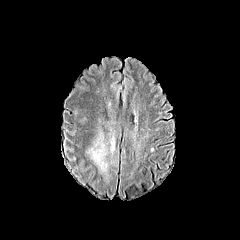
FLAIR MR.
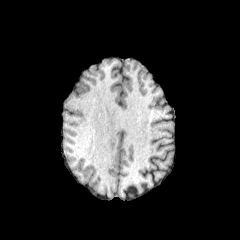
T1-weighted MRI of the same slice.
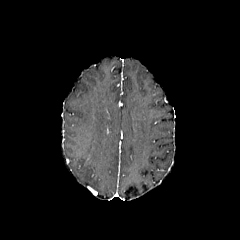
Same slice, post-contrast T1-weighted MR image.
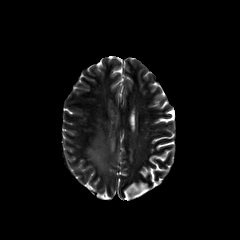
T2-weighted MR.
Brain | Axial plane | Image size 240x240
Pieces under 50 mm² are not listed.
Segmented structures:
- peritumoral edema: bbox(110, 137, 114, 152); bbox(88, 141, 107, 171)